FLAIR magnetic resonance.
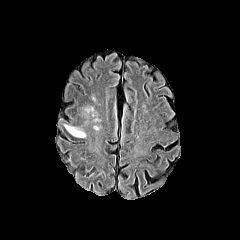
T1-weighted MRI.
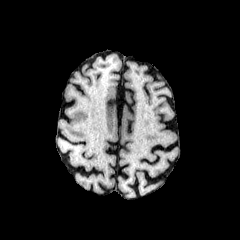
Post-contrast T1-weighted magnetic resonance.
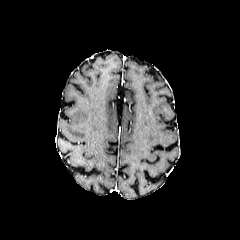
T2-weighted MRI.
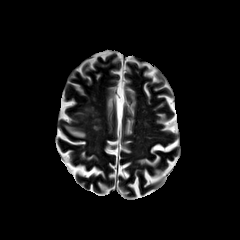
Head
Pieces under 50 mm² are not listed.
The largest peritumoral edema region appears at (64,125,85,137).